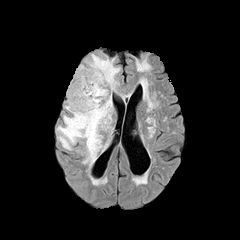
FLAIR MR image.
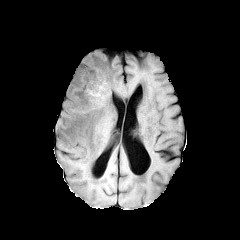
Same slice, T1-weighted magnetic resonance.
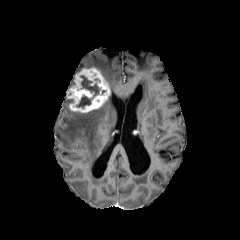
Post-contrast T1-weighted MR.
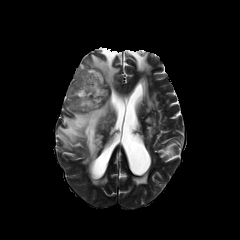
T2-weighted magnetic resonance.
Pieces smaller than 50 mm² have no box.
{
  "necrotic_tumor_core": [
    "x1=77 y1=96 x2=90 y2=107",
    "x1=80 y1=75 x2=99 y2=98"
  ],
  "enhancing_tumor": [
    "x1=66 y1=67 x2=110 y2=112"
  ],
  "peritumoral_edema": [
    "x1=57 y1=54 x2=119 y2=166"
  ]
}